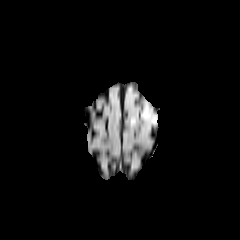
FLAIR magnetic resonance.
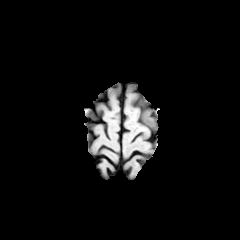
T1-weighted MRI.
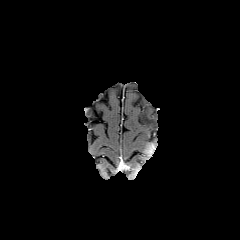
Same slice, post-contrast T1-weighted MR image.
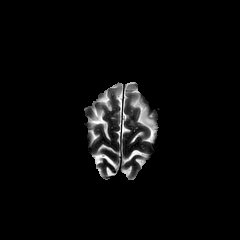
T2-weighted MRI.
Axial slice.
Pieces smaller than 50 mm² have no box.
{
  "peritumoral_edema": [
    "box(141, 106, 156, 128)"
  ]
}